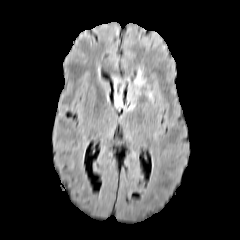
FLAIR magnetic resonance.
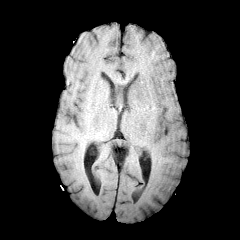
T1-weighted magnetic resonance of the same slice.
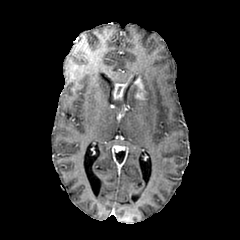
Post-contrast T1-weighted MR image.
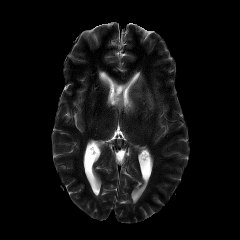
Same slice, T2-weighted MR.
Axial slice. Head.
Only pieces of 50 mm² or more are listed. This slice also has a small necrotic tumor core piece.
The 2 largest enhancing tumor regions appear at region(134, 77, 144, 99); region(114, 84, 124, 100). The 4 largest peritumoral edema regions appear at region(147, 89, 153, 103); region(125, 92, 136, 111); region(115, 99, 122, 108); region(138, 70, 145, 84).